Image covers 240 mm x 240 mm | Image size 240x240 | Axial view | Slice 67/155
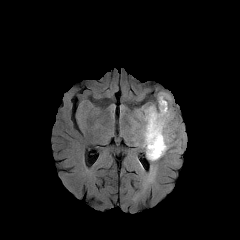
FLAIR MR.
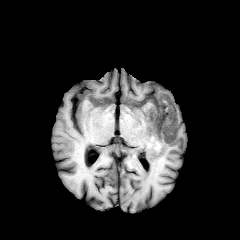
T1-weighted MR of the same slice.
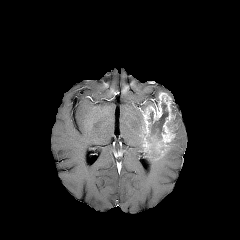
Same slice, post-contrast T1-weighted MR.
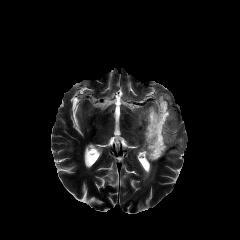
Same slice, T2-weighted magnetic resonance.
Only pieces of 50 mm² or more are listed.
enhancing tumor: region(142, 92, 177, 160) | necrotic tumor core: region(148, 103, 168, 140); region(150, 144, 159, 157) | peritumoral edema: region(167, 98, 180, 151); region(134, 93, 158, 151); region(144, 152, 166, 181)